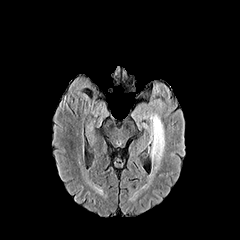
FLAIR MR.
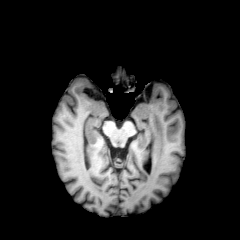
T1-weighted MR image.
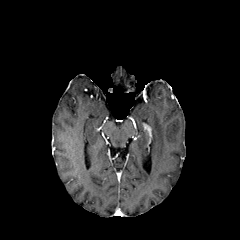
Post-contrast T1-weighted MR image of the same slice.
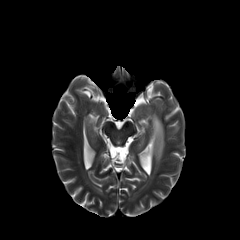
T2-weighted MRI.
Head. 240x240. Axial plane.
The peritumoral edema is at (142, 112, 164, 189).